Axial view; Slice index 105
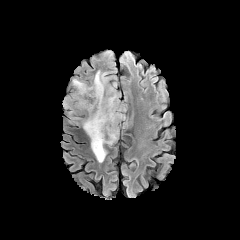
FLAIR MR image.
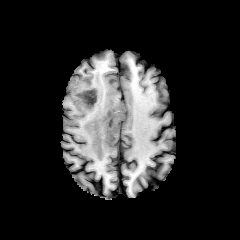
Same slice, T1-weighted MR.
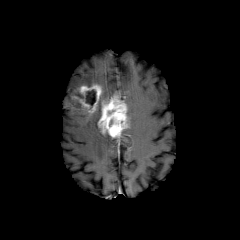
Post-contrast T1-weighted MRI.
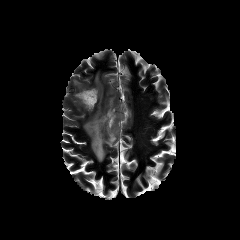
Same slice, T2-weighted MRI.
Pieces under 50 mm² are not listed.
{"necrotic_tumor_core": ["[86, 90, 95, 105]"], "peritumoral_edema": ["[73, 79, 84, 90]", "[83, 71, 118, 162]"], "enhancing_tumor": ["[97, 93, 129, 138]", "[72, 84, 102, 114]"]}